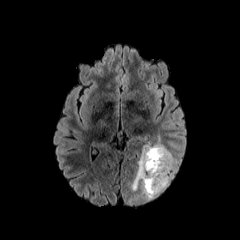
FLAIR MR.
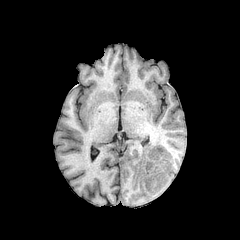
T1-weighted magnetic resonance.
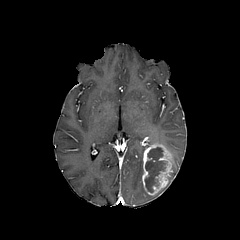
Post-contrast T1-weighted MR of the same slice.
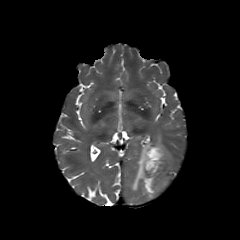
T2-weighted MRI.
Axial plane; Head
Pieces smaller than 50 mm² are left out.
<segmentation>
  <peritumoral_edema>box(169, 157, 178, 177); box(130, 135, 165, 200)</peritumoral_edema>
  <enhancing_tumor>box(142, 143, 172, 195)</enhancing_tumor>
  <necrotic_tumor_core>box(144, 147, 167, 193)</necrotic_tumor_core>
</segmentation>